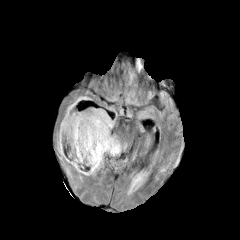
FLAIR magnetic resonance.
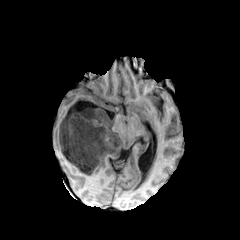
T1-weighted magnetic resonance of the same slice.
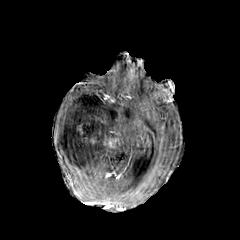
Same slice, post-contrast T1-weighted MRI.
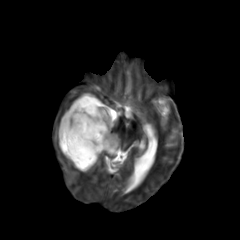
T2-weighted MR.
Brain
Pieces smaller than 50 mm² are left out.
<segmentation>
  <enhancing_tumor>l=108, t=138, r=118, b=147</enhancing_tumor>
  <necrotic_tumor_core>l=58, t=115, r=99, b=168</necrotic_tumor_core>
  <peritumoral_edema>l=58, t=141, r=63, b=154; l=67, t=132, r=79, b=152; l=60, t=91, r=120, b=175</peritumoral_edema>
</segmentation>